FLAIR MR.
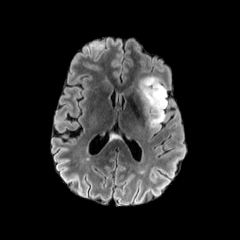
T1-weighted magnetic resonance.
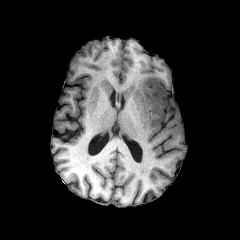
Post-contrast T1-weighted MR image.
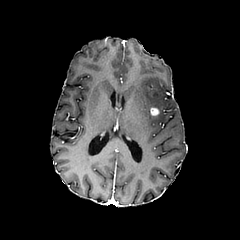
T2-weighted magnetic resonance.
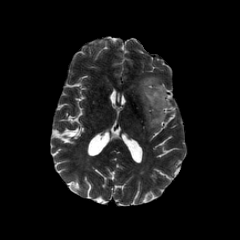
Head. Axial view.
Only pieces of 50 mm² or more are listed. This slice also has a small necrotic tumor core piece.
<segmentation>
  <peritumoral_edema>[x1=138, y1=76, x2=167, y2=130]</peritumoral_edema>
  <enhancing_tumor>[x1=150, y1=107, x2=159, y2=116]</enhancing_tumor>
</segmentation>